FLAIR MR image.
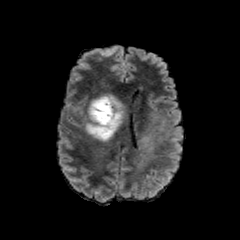
T1-weighted MR.
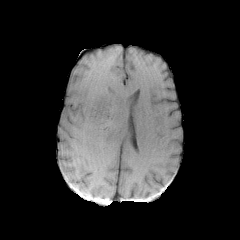
Post-contrast T1-weighted MR image.
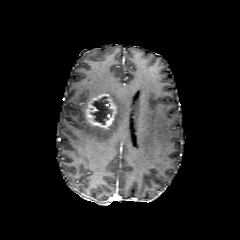
T2-weighted MR.
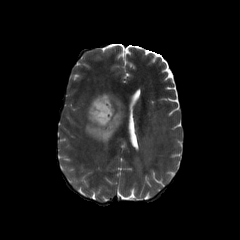
240x240, Axial slice
peritumoral edema — <box>85,94,123,141</box>, <box>134,114,168,172</box>
enhancing tumor — <box>85,93,116,129</box>
necrotic tumor core — <box>91,96,112,124</box>